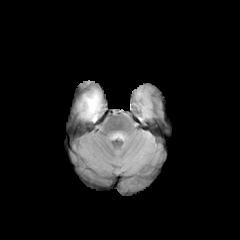
FLAIR MR image.
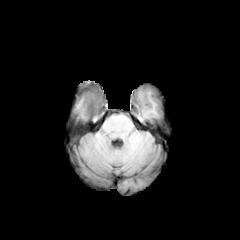
T1-weighted MRI.
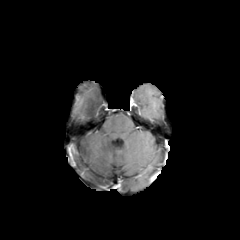
Post-contrast T1-weighted magnetic resonance.
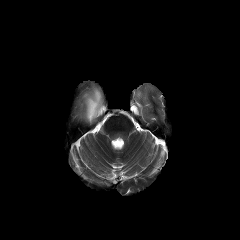
T2-weighted MR image.
Brain, 240x240, Axial plane
necrotic tumor core: (86, 95, 100, 120) | peritumoral edema: (79, 88, 102, 121)